Axial view
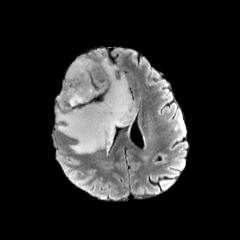
FLAIR MR image.
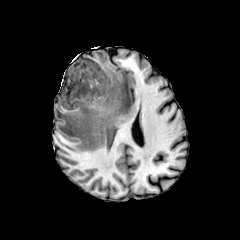
Same slice, T1-weighted MR.
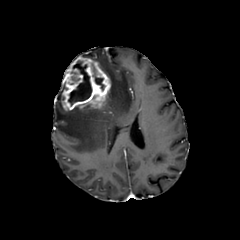
Post-contrast T1-weighted MR.
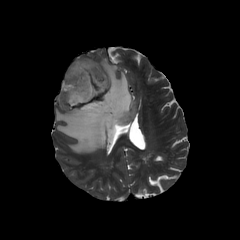
Same slice, T2-weighted MR image.
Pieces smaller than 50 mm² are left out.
<segmentation>
  <peritumoral_edema>l=56, t=58, r=136, b=153</peritumoral_edema>
  <necrotic_tumor_core>l=95, t=77, r=104, b=89; l=68, t=61, r=91, b=105</necrotic_tumor_core>
  <enhancing_tumor>l=61, t=56, r=110, b=110</enhancing_tumor>
</segmentation>